Axial view
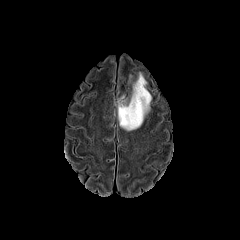
FLAIR MR.
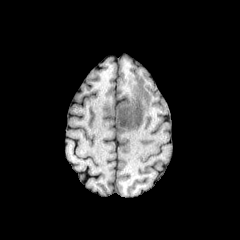
Same slice, T1-weighted MRI.
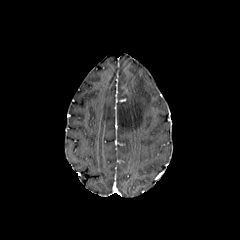
Post-contrast T1-weighted magnetic resonance.
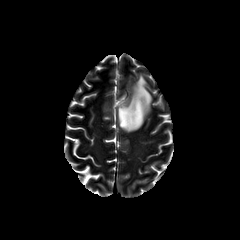
T2-weighted MR of the same slice.
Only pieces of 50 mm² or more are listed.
{
  "peritumoral_edema": [
    "left=118, top=73, right=151, bottom=130"
  ]
}